FLAIR MRI.
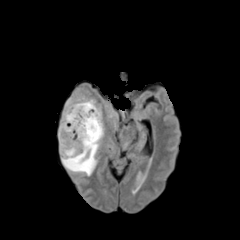
T1-weighted magnetic resonance.
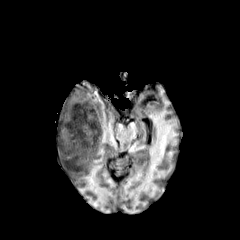
Post-contrast T1-weighted magnetic resonance.
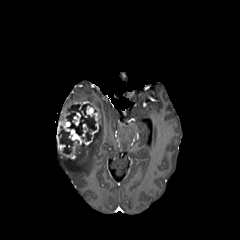
T2-weighted magnetic resonance.
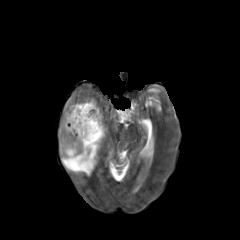
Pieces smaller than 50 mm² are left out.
{
  "peritumoral_edema": [
    "67,97,96,104",
    "61,125,103,175"
  ],
  "enhancing_tumor": [
    "72,112,80,125",
    "58,100,101,159"
  ],
  "necrotic_tumor_core": [
    "58,126,73,154",
    "66,104,96,140"
  ]
}